Axial view
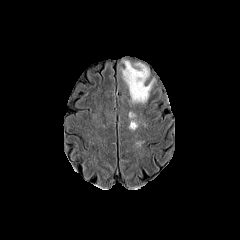
FLAIR magnetic resonance.
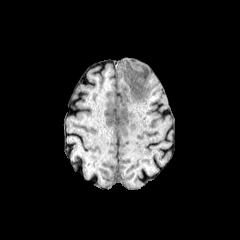
Same slice, T1-weighted MR image.
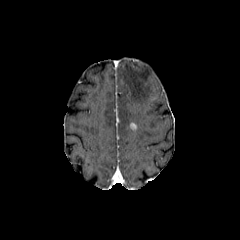
Post-contrast T1-weighted MR image.
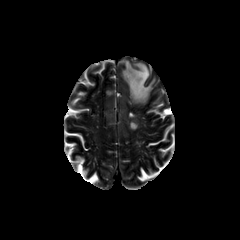
T2-weighted MRI of the same slice.
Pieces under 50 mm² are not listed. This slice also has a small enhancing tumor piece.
The largest peritumoral edema region is located at box(121, 60, 154, 103).